FLAIR MR image.
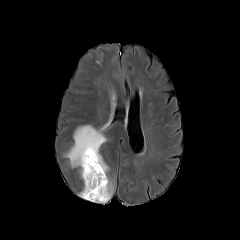
T1-weighted MR image.
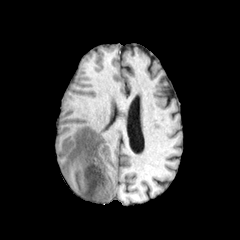
Post-contrast T1-weighted magnetic resonance.
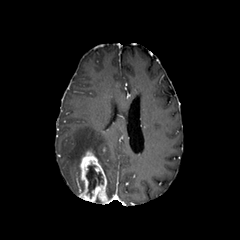
T2-weighted MRI.
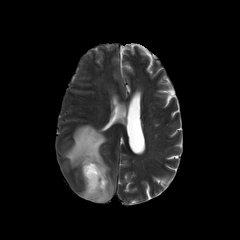
Axial slice. 240x240.
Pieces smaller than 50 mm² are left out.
enhancing tumor: bbox(79, 150, 108, 203) | peritumoral edema: bbox(64, 120, 114, 200) | necrotic tumor core: bbox(86, 165, 103, 197)